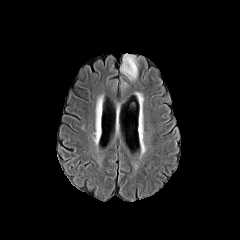
FLAIR MRI.
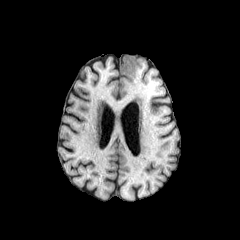
T1-weighted magnetic resonance of the same slice.
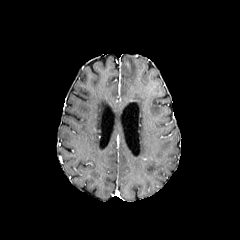
Post-contrast T1-weighted magnetic resonance.
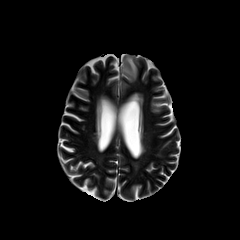
T2-weighted magnetic resonance.
Head
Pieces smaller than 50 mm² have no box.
peritumoral edema — x1=120, y1=53, x2=137, y2=81